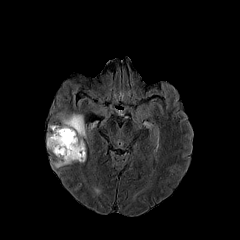
FLAIR MR.
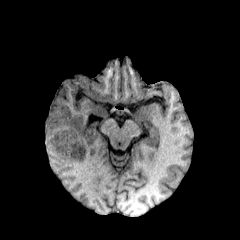
T1-weighted MR.
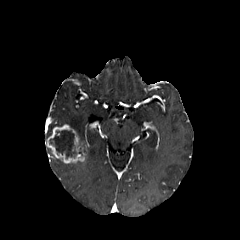
Post-contrast T1-weighted MRI of the same slice.
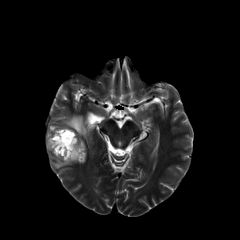
Same slice, T2-weighted MR.
Brain, Axial plane
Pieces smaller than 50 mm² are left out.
necrotic tumor core: [49, 130, 82, 158] | peritumoral edema: [51, 159, 72, 168], [56, 113, 85, 140] | enhancing tumor: [47, 124, 86, 163]